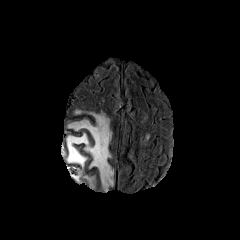
FLAIR MRI.
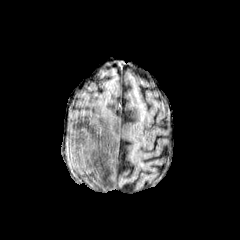
T1-weighted MRI.
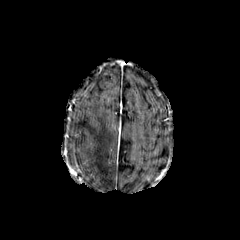
Same slice, post-contrast T1-weighted MR image.
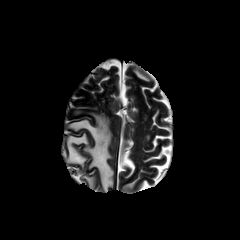
Same slice, T2-weighted magnetic resonance.
240x240 px
- peritumoral edema: bbox(66, 112, 113, 191)